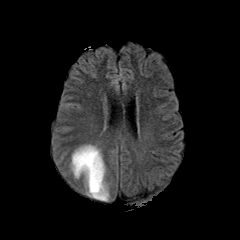
FLAIR MR.
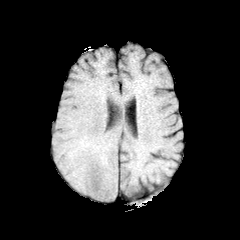
T1-weighted MR.
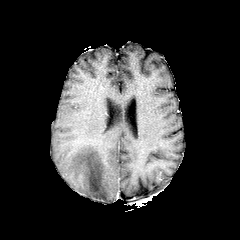
Post-contrast T1-weighted MR image.
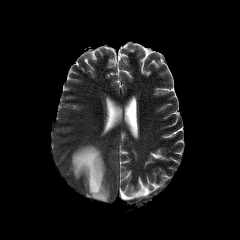
T2-weighted MRI of the same slice.
Brain. 240x240 px.
peritumoral edema: bounding box left=71, top=145, right=109, bottom=201